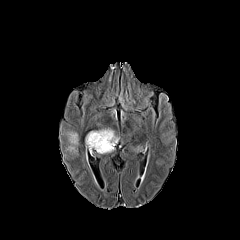
FLAIR magnetic resonance.
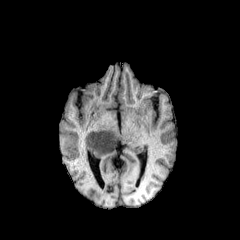
T1-weighted MR of the same slice.
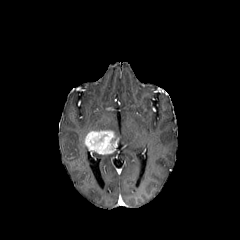
Post-contrast T1-weighted MRI.
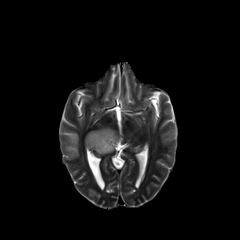
T2-weighted MRI.
Axial plane
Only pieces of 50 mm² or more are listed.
The enhancing tumor appears at 84:130:118:154. The largest peritumoral edema region is located at 66:131:78:154.